FLAIR MRI.
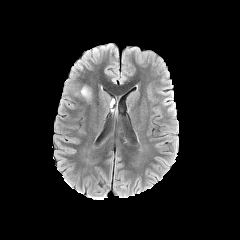
T1-weighted magnetic resonance.
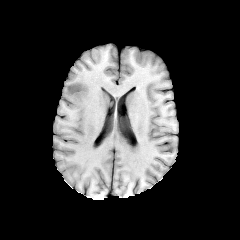
Post-contrast T1-weighted MRI.
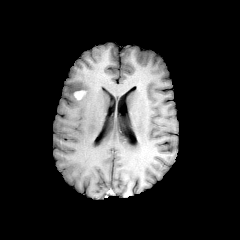
T2-weighted MR.
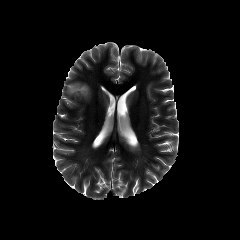
Brain, 240x240, Axial view
Annotated regions:
• enhancing tumor: (74, 90, 85, 99)
• peritumoral edema: (67, 86, 91, 99)